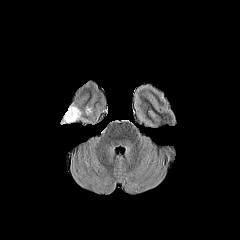
FLAIR MRI.
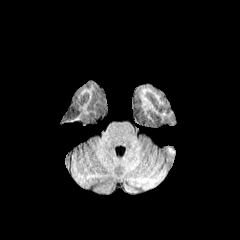
T1-weighted MR image.
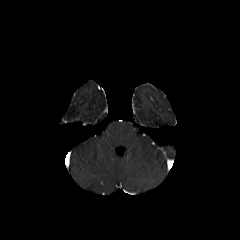
Post-contrast T1-weighted MR.
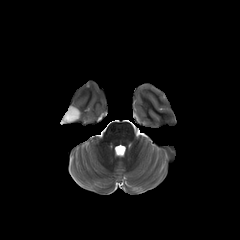
T2-weighted MRI.
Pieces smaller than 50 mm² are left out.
{"peritumoral_edema": ["l=65, t=105, r=81, b=121"]}